FLAIR MR image.
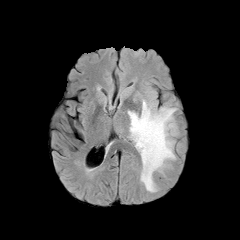
T1-weighted magnetic resonance.
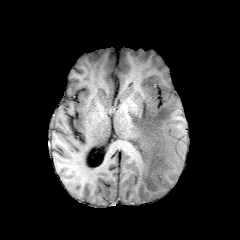
Post-contrast T1-weighted magnetic resonance.
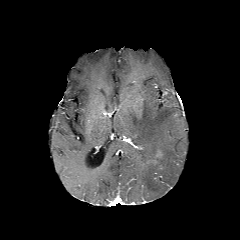
T2-weighted magnetic resonance.
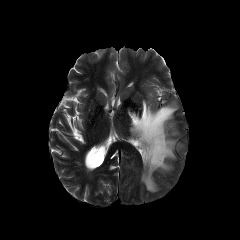
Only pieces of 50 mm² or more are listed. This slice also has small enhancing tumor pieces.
Annotated regions:
- peritumoral edema: x1=128 y1=100 x2=177 y2=192